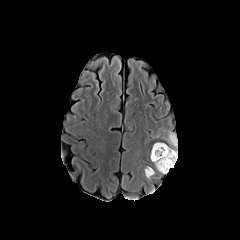
FLAIR MR.
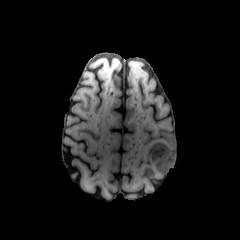
T1-weighted MRI.
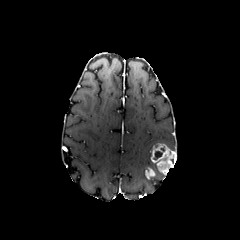
Same slice, post-contrast T1-weighted MRI.
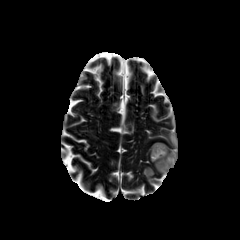
T2-weighted magnetic resonance.
240x240
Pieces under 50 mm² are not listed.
The largest peritumoral edema region is bounded by (165, 130, 177, 153). 2 enhancing tumor regions appear at (145, 167, 155, 179), (151, 143, 176, 174). The largest necrotic tumor core region appears at (153, 151, 162, 159).